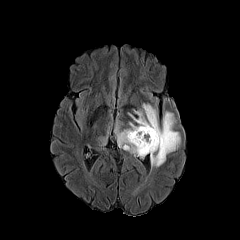
FLAIR MR.
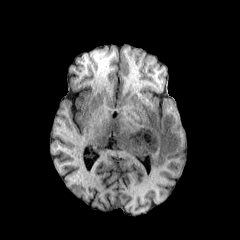
T1-weighted MR image.
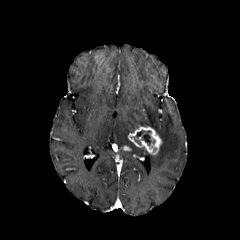
Post-contrast T1-weighted MR image.
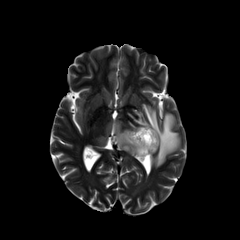
T2-weighted MRI.
Image size 240x240 | Axial view | Head
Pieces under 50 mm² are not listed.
necrotic tumor core: bounding box (134, 130, 155, 145)
enhancing tumor: bounding box (128, 126, 161, 154)
peritumoral edema: bounding box (100, 125, 110, 144), (114, 104, 180, 167)